Axial plane. Image width 240 mm.
FLAIR MRI.
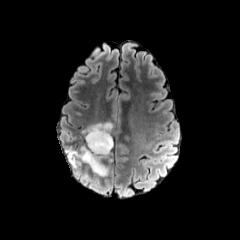
T1-weighted MRI.
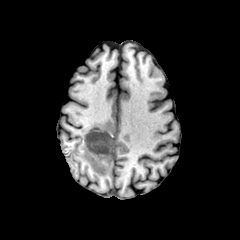
Post-contrast T1-weighted MR.
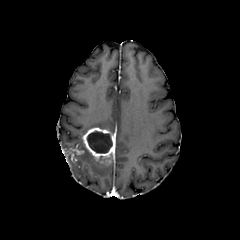
T2-weighted magnetic resonance.
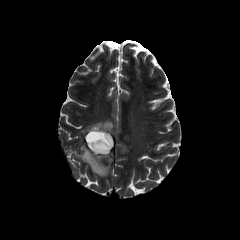
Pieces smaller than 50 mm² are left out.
Findings:
• necrotic tumor core: {"x1": 87, "y1": 131, "x2": 112, "y2": 153}
• peritumoral edema: {"x1": 75, "y1": 145, "x2": 109, "y2": 176}, {"x1": 82, "y1": 121, "x2": 113, "y2": 134}
• enhancing tumor: {"x1": 83, "y1": 127, "x2": 114, "y2": 167}, {"x1": 67, "y1": 148, "x2": 83, "y2": 161}